Slice 127 of 155. Axial plane. Image size 240x240.
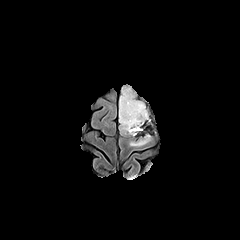
FLAIR MR.
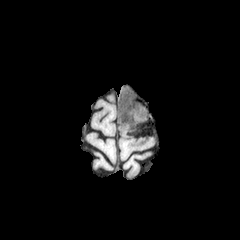
T1-weighted MRI.
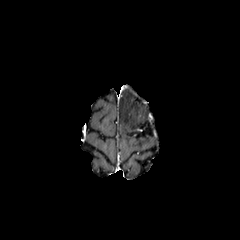
Post-contrast T1-weighted MRI.
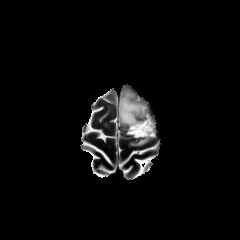
T2-weighted MR image.
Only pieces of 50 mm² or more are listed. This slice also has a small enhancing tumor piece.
Segmented structures:
• peritumoral edema: bbox(130, 135, 150, 146); bbox(119, 88, 147, 133)
• necrotic tumor core: bbox(130, 124, 142, 134)